Image width 240 mm, 1.00 mm slice spacing; Slice index 100; Axial slice; Brain
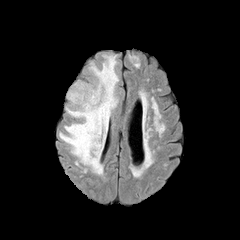
FLAIR MR.
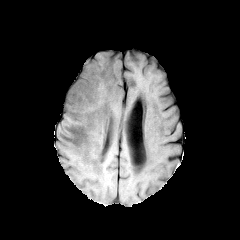
T1-weighted magnetic resonance.
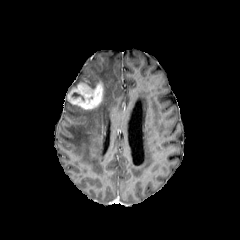
Post-contrast T1-weighted magnetic resonance.
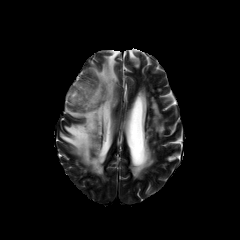
Same slice, T2-weighted MR image.
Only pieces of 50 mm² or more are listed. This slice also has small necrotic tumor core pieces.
peritumoral edema: rect(59, 54, 118, 174)
enhancing tumor: rect(67, 80, 103, 109)